Image size 240x240
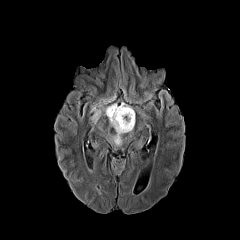
FLAIR MRI.
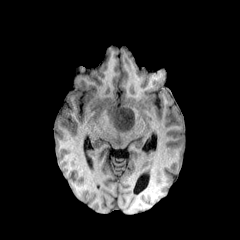
Same slice, T1-weighted MRI.
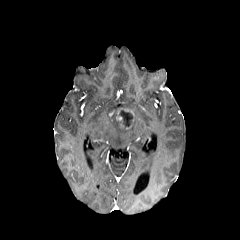
Post-contrast T1-weighted MR of the same slice.
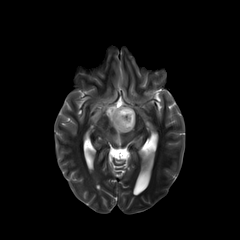
T2-weighted MR of the same slice.
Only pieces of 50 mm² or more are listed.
enhancing tumor: left=109, top=107, right=134, bottom=129 | peritumoral edema: left=90, top=94, right=135, bottom=145 | necrotic tumor core: left=119, top=110, right=133, bottom=127